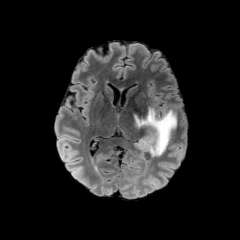
FLAIR MRI.
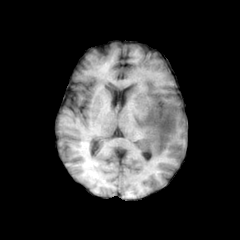
T1-weighted MRI.
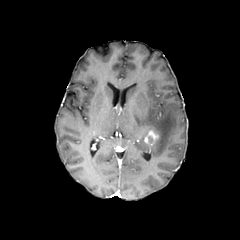
Post-contrast T1-weighted MR image.
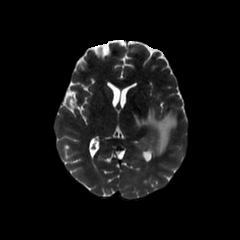
T2-weighted MR image of the same slice.
Axial slice | Brain
{"peritumoral_edema": ["bbox=[135, 108, 176, 155]"], "enhancing_tumor": ["bbox=[145, 129, 159, 144]"]}